240x240; Axial slice
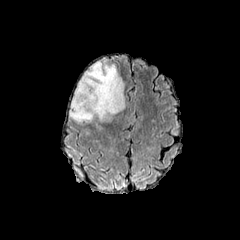
FLAIR magnetic resonance.
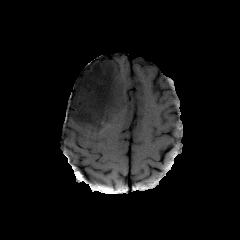
Same slice, T1-weighted MRI.
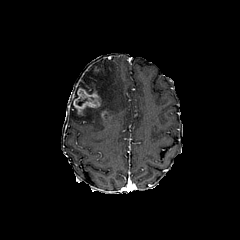
Post-contrast T1-weighted MRI of the same slice.
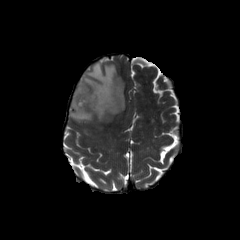
T2-weighted MRI.
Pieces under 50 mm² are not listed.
The peritumoral edema lies within [69, 59, 125, 124]. The largest necrotic tumor core region lies within [76, 98, 87, 105]. The 2 largest enhancing tumor regions are located at [100, 110, 111, 120], [73, 85, 100, 115].